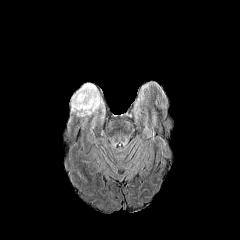
FLAIR MR image.
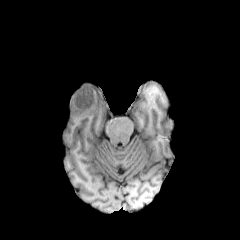
Same slice, T1-weighted magnetic resonance.
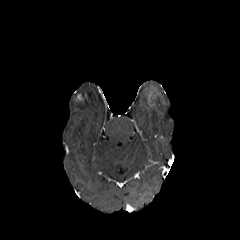
Post-contrast T1-weighted MR image.
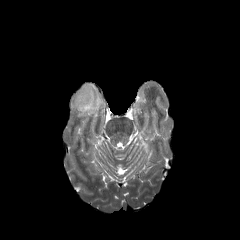
T2-weighted magnetic resonance.
Head, Axial view
enhancing tumor at (76, 92, 90, 105)
peritumoral edema at (70, 83, 105, 116)